FLAIR MR image.
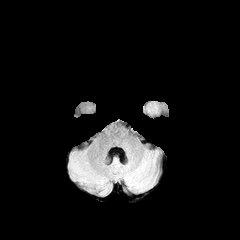
T1-weighted MR.
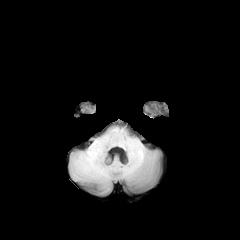
Post-contrast T1-weighted MR.
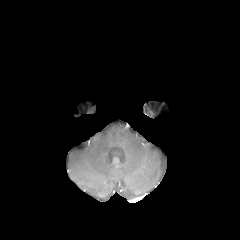
T2-weighted MR image.
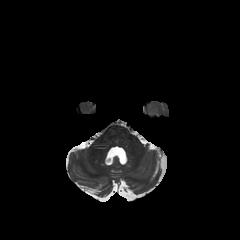
Axial plane, Brain
peritumoral edema: <box>148,105,157,112</box>